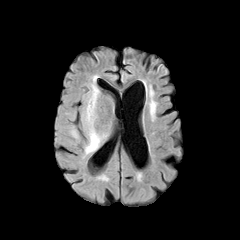
FLAIR MR.
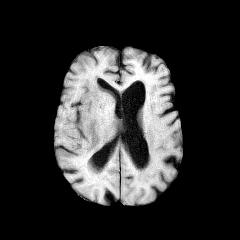
T1-weighted MR image.
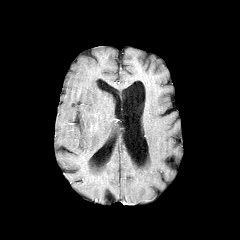
Post-contrast T1-weighted magnetic resonance.
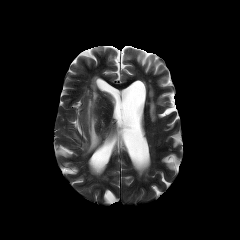
T2-weighted MR image of the same slice.
Brain. Axial view. 240x240 px.
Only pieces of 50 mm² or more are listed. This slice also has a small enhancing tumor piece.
2 peritumoral edema regions are located at [70, 127, 78, 139], [82, 82, 107, 154].